FLAIR MR.
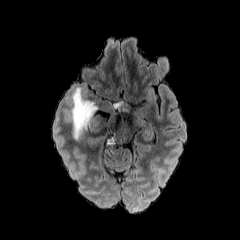
T1-weighted MRI.
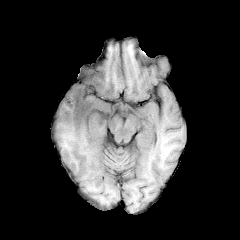
Post-contrast T1-weighted magnetic resonance.
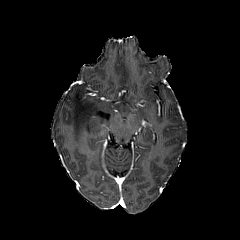
T2-weighted magnetic resonance.
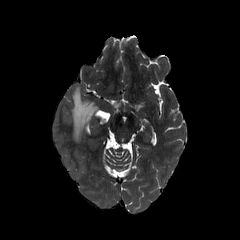
Brain
2 peritumoral edema regions are located at [114, 101, 123, 113], [71, 87, 97, 140].